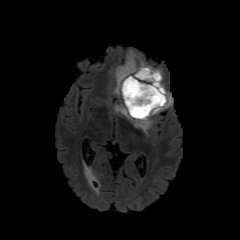
FLAIR MR image.
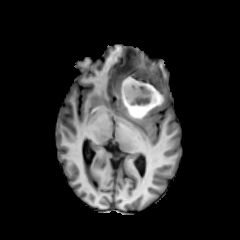
T1-weighted magnetic resonance.
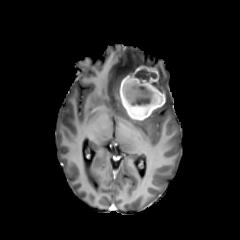
Post-contrast T1-weighted MR image.
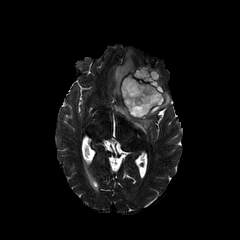
T2-weighted MR of the same slice.
Image size 240x240, Head, Axial slice
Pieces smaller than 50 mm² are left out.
necrotic tumor core at (x1=123, y1=68, x2=161, y2=116)
enhancing tumor at (x1=120, y1=66, x2=165, y2=120)
peritumoral edema at (x1=114, y1=90, x2=172, y2=133), (x1=113, y1=51, x2=145, y2=96)